240x240 px; Axial slice; Image width 240 mm; Brain
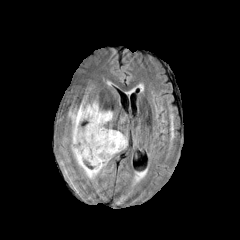
FLAIR MRI.
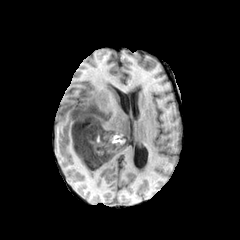
T1-weighted MRI of the same slice.
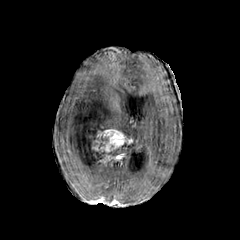
Same slice, post-contrast T1-weighted MR image.
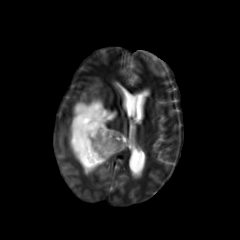
Same slice, T2-weighted MR image.
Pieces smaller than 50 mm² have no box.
* peritumoral edema: l=69, t=99, r=113, b=177
* enhancing tumor: l=92, t=129, r=127, b=152; l=96, t=154, r=113, b=163
* necrotic tumor core: l=84, t=142, r=113, b=165